FLAIR MRI.
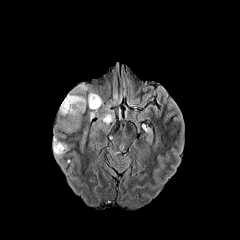
T1-weighted magnetic resonance.
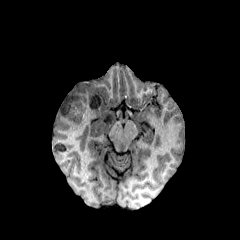
Post-contrast T1-weighted magnetic resonance.
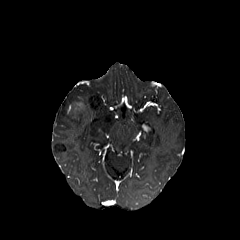
T2-weighted magnetic resonance.
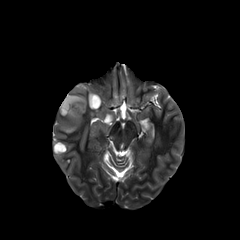
Image size 240x240
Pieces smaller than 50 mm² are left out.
Segmented structures:
* enhancing tumor: x1=74, y1=102, x2=84, y2=113
* peritumoral edema: x1=60, y1=85, x2=88, y2=115; x1=53, y1=138, x2=64, y2=155; x1=88, y1=92, x2=101, y2=111; x1=97, y1=113, x2=113, y2=124
* necrotic tumor core: x1=70, y1=98, x2=83, y2=117